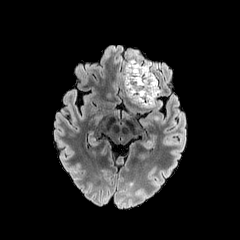
FLAIR magnetic resonance.
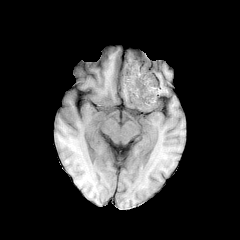
T1-weighted MR image.
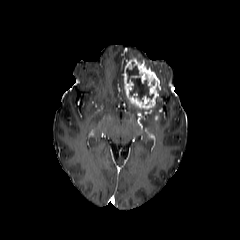
Same slice, post-contrast T1-weighted MR image.
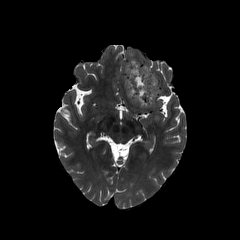
T2-weighted magnetic resonance.
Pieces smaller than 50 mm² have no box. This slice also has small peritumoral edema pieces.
enhancing_tumor:
  - x1=123, y1=58, x2=160, y2=109
necrotic_tumor_core:
  - x1=126, y1=66, x2=153, y2=99